FLAIR MR image.
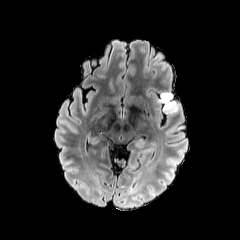
T1-weighted magnetic resonance.
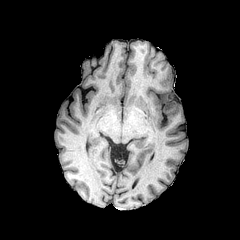
Post-contrast T1-weighted MRI.
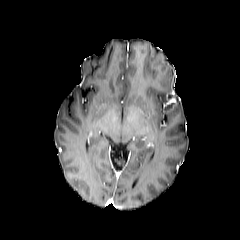
T2-weighted magnetic resonance.
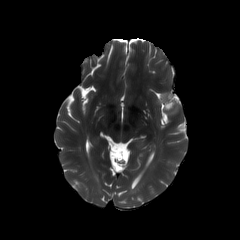
Axial plane, Head
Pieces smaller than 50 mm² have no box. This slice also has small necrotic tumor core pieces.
peritumoral edema = [161, 65, 172, 89], [163, 103, 178, 114], [160, 91, 171, 103]
enhancing tumor = [164, 93, 176, 109]